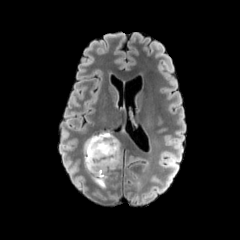
FLAIR MRI.
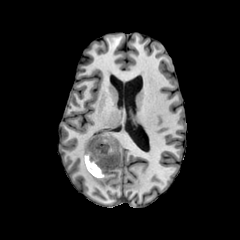
T1-weighted MR.
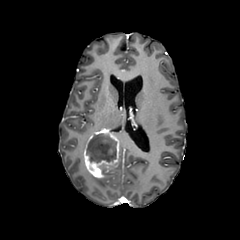
Post-contrast T1-weighted MR image.
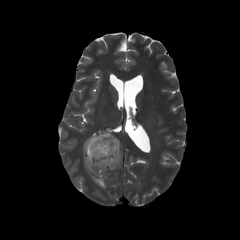
T2-weighted magnetic resonance.
Brain. Image size 240x240.
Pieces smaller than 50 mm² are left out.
<segmentation>
  <enhancing_tumor><bbox>83, 131, 119, 178</bbox></enhancing_tumor>
  <peritumoral_edema><bbox>92, 130, 124, 188</bbox></peritumoral_edema>
  <necrotic_tumor_core><bbox>86, 133, 116, 171</bbox></necrotic_tumor_core>
</segmentation>